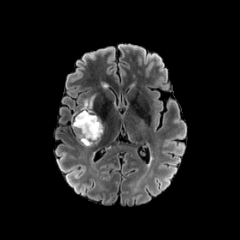
FLAIR MR image.
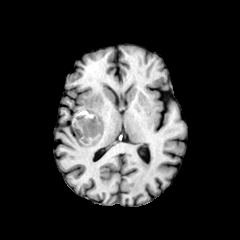
Same slice, T1-weighted MRI.
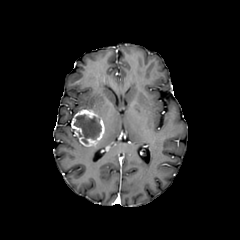
Post-contrast T1-weighted MR image.
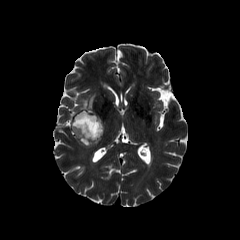
T2-weighted magnetic resonance.
240x240. Brain. Axial view.
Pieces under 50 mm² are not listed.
Annotated regions:
- peritumoral edema: rect(80, 95, 95, 110)
- necrotic tumor core: rect(74, 114, 101, 143)
- enhancing tumor: rect(72, 110, 104, 146)